FLAIR MRI.
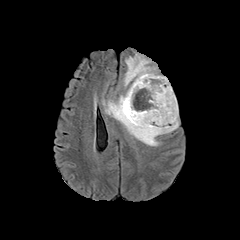
T1-weighted magnetic resonance.
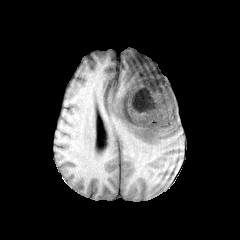
Post-contrast T1-weighted MR.
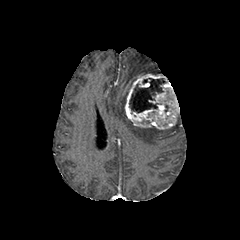
T2-weighted MR.
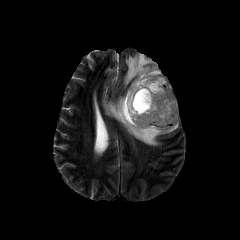
Axial slice; 240x240 px
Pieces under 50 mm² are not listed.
Findings:
- enhancing tumor: 124 73 178 129
- peritumoral edema: 103 87 179 146, 123 53 159 87
- necrotic tumor core: 129 78 165 112